FLAIR MR image.
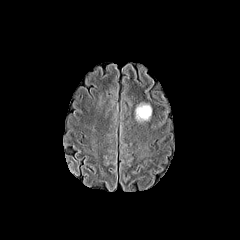
T1-weighted MR.
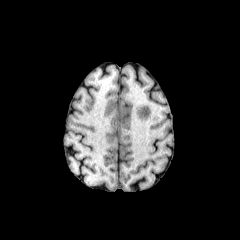
Post-contrast T1-weighted MR.
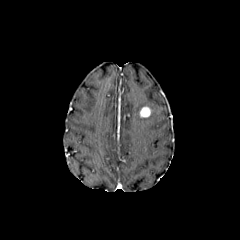
T2-weighted MR image.
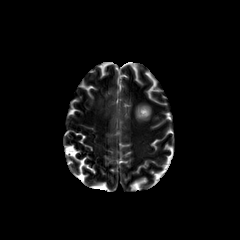
Axial slice
Segmented structures:
• peritumoral edema: [135, 103, 151, 121]
• enhancing tumor: [139, 106, 150, 117]